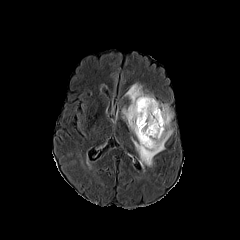
FLAIR MR.
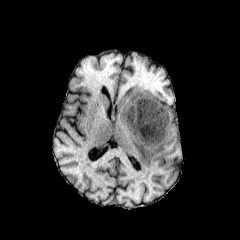
T1-weighted MRI.
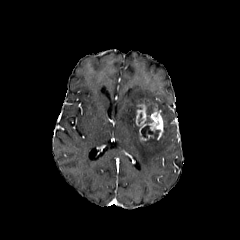
Same slice, post-contrast T1-weighted MR image.
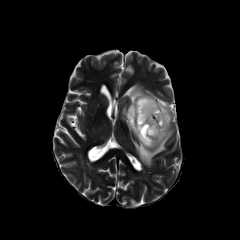
T2-weighted MR image.
240x240 px | Axial view | Head
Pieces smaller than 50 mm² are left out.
The largest necrotic tumor core region is bounded by [x1=141, y1=125, x2=159, y2=137]. The peritumoral edema is bounded by [x1=122, y1=83, x2=173, y2=168]. 2 enhancing tumor regions are bounded by [x1=135, y1=105, x2=146, y2=126], [x1=139, y1=110, x2=163, y2=141].